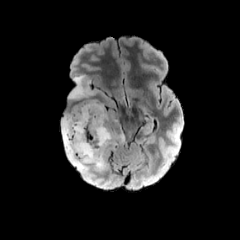
FLAIR MR image.
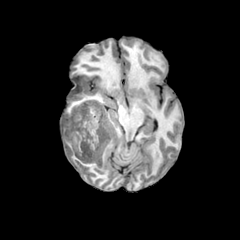
Same slice, T1-weighted MR image.
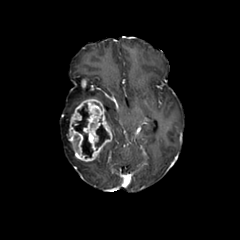
Post-contrast T1-weighted MR.
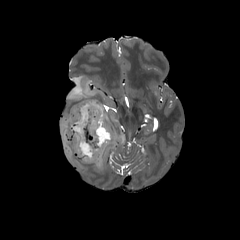
T2-weighted MR.
Head | Axial plane
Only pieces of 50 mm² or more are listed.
The 2 largest peritumoral edema regions are located at x1=61 y1=114 x2=112 y2=171, x1=68 y1=76 x2=96 y2=99. The 2 largest necrotic tumor core regions appear at x1=72 y1=104 x2=93 y2=158, x1=95 y1=124 x2=109 y2=146. 2 enhancing tumor regions are located at x1=67 y1=98 x2=113 y2=161, x1=81 y1=78 x2=87 y2=88.